FLAIR MR image.
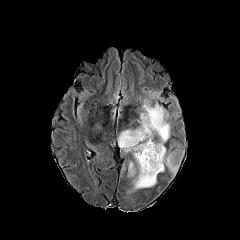
T1-weighted MRI.
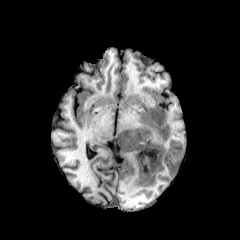
Post-contrast T1-weighted MR image.
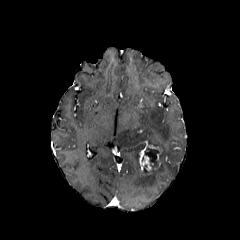
T2-weighted MRI.
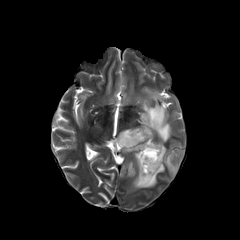
Axial plane
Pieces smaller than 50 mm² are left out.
enhancing_tumor:
  - 139, 143, 162, 175
peritumoral_edema:
  - 118, 98, 178, 194
  - 128, 161, 135, 176
necrotic_tumor_core:
  - 145, 147, 158, 166